Axial view; Image width 240 mm, 1.00 mm slice spacing; Image size 240x240
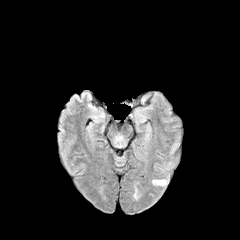
FLAIR MR.
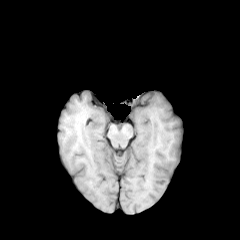
Same slice, T1-weighted magnetic resonance.
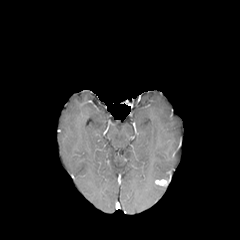
Post-contrast T1-weighted MR image.
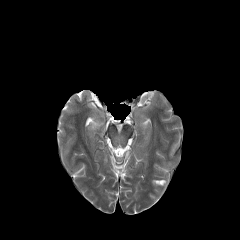
T2-weighted MR image.
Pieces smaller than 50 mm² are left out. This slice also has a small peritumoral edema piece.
- enhancing tumor: 152 179 167 186